Image size 240x240, Brain, Slice 66 of 155
FLAIR MR.
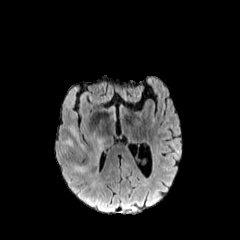
T1-weighted MR.
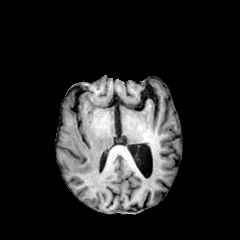
Post-contrast T1-weighted MR image.
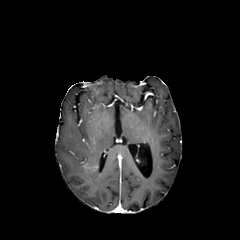
T2-weighted MRI.
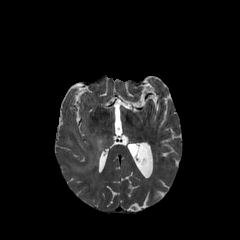
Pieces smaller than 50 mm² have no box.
enhancing tumor: bounding box <box>83,163,93,171</box>
peritumoral edema: bounding box <box>74,133,84,149</box>, <box>90,137,104,157</box>, <box>74,165,86,172</box>